Head
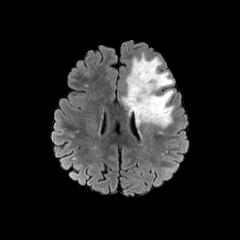
FLAIR MR image.
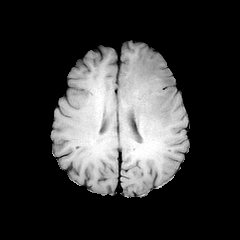
T1-weighted MRI.
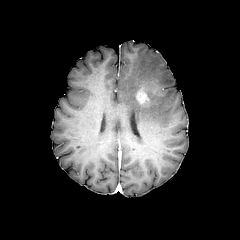
Post-contrast T1-weighted magnetic resonance of the same slice.
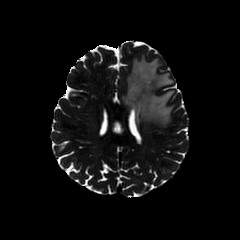
Same slice, T2-weighted magnetic resonance.
enhancing tumor: (x1=136, y1=89, x2=149, y2=103)
peritumoral edema: (x1=122, y1=55, x2=174, y2=127)